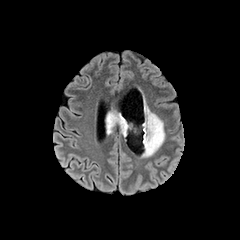
FLAIR MR image.
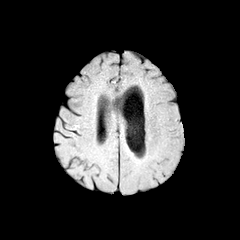
T1-weighted MR of the same slice.
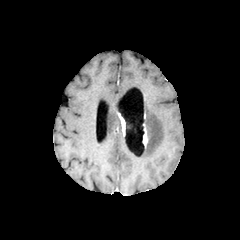
Post-contrast T1-weighted MR image.
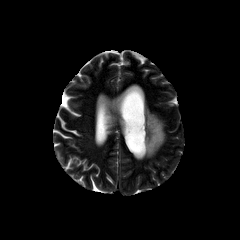
T2-weighted magnetic resonance.
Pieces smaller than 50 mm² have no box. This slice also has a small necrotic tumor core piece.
Findings:
* peritumoral edema: (105,111,121,134), (142,100,165,157)
* enhancing tumor: (119,114,126,135), (143,124,147,147)